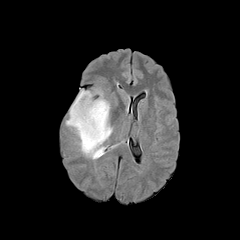
FLAIR MR image.
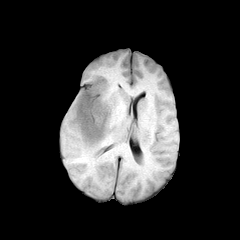
T1-weighted magnetic resonance of the same slice.
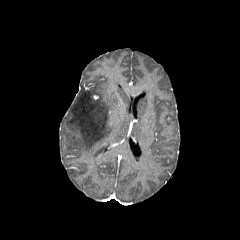
Post-contrast T1-weighted MRI.
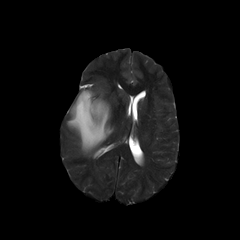
T2-weighted MR.
Axial slice. Brain. 240x240.
peritumoral edema at rect(66, 90, 112, 157)